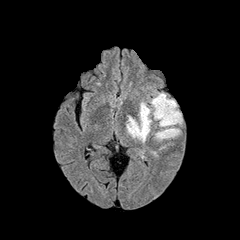
FLAIR MR image.
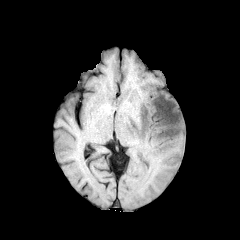
T1-weighted magnetic resonance.
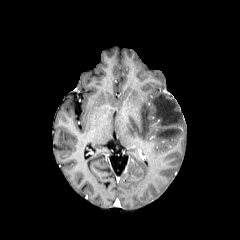
Same slice, post-contrast T1-weighted MRI.
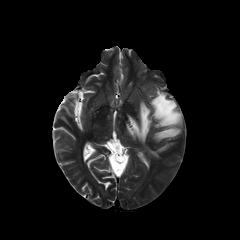
T2-weighted MR.
Brain
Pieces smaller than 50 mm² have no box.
The 2 largest peritumoral edema regions are located at region(150, 93, 182, 140); region(126, 102, 151, 142).